Slice 96/155, Axial slice
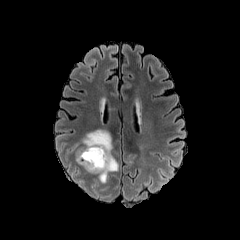
FLAIR MR image.
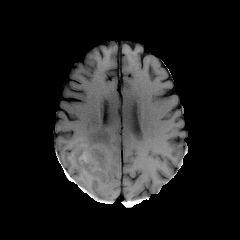
T1-weighted MRI.
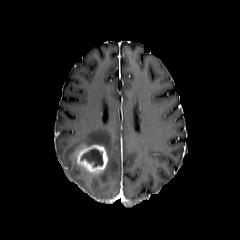
Same slice, post-contrast T1-weighted MR image.
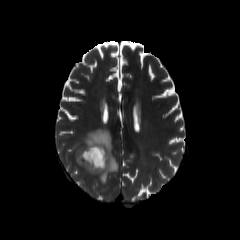
T2-weighted MR of the same slice.
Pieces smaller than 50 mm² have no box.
The largest peritumoral edema region is bounded by x1=81, y1=129, x2=118, y2=182. The necrotic tumor core is bounded by x1=81, y1=149, x2=102, y2=166. The enhancing tumor is located at x1=76, y1=144, x2=108, y2=174.